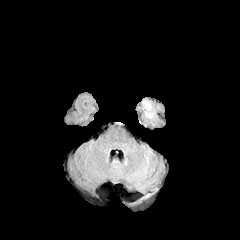
FLAIR MRI.
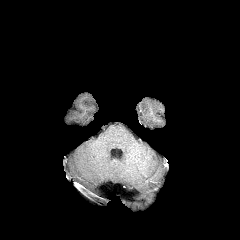
T1-weighted MR image.
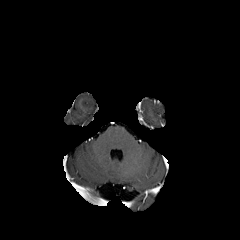
Post-contrast T1-weighted magnetic resonance.
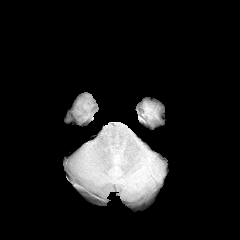
Same slice, T2-weighted MRI.
240x240
peritumoral edema: bounding box x1=143, y1=101, x2=153, y2=118